FLAIR MRI.
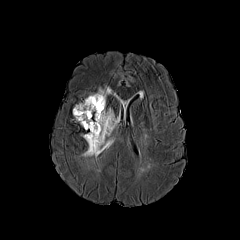
T1-weighted magnetic resonance.
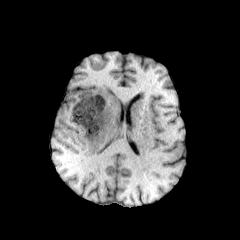
Post-contrast T1-weighted magnetic resonance.
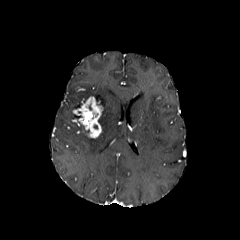
T2-weighted magnetic resonance.
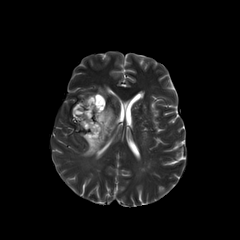
Image size 240x240. Axial view.
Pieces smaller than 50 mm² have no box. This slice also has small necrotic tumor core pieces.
Findings:
* peritumoral edema: bbox(82, 86, 116, 156)
* enhancing tumor: bbox(73, 96, 103, 138)